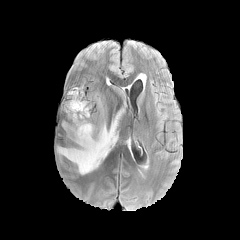
FLAIR MR.
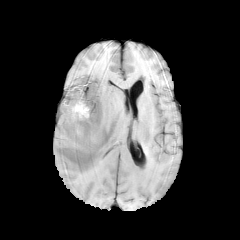
T1-weighted MR.
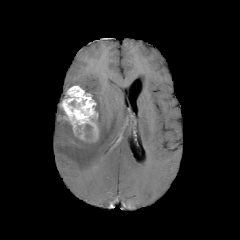
Same slice, post-contrast T1-weighted magnetic resonance.
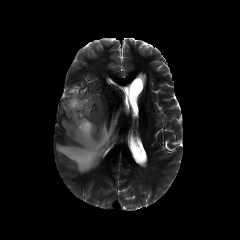
Same slice, T2-weighted magnetic resonance.
Brain
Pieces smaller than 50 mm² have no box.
peritumoral edema: (56,111,120,174), (93,94,103,114) | necrotic tumor core: (84,124,92,138) | enhancing tumor: (61,85,98,142)